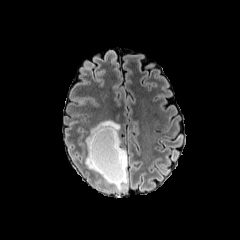
FLAIR MR image.
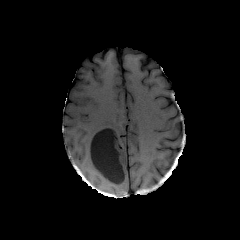
Same slice, T1-weighted MRI.
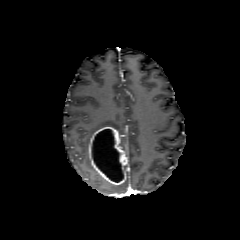
Post-contrast T1-weighted MR.
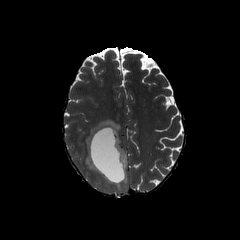
T2-weighted MR.
Axial slice. Image size 240x240. Brain.
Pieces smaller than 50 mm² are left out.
necrotic tumor core: (left=92, top=129, right=123, bottom=182) | peritumoral edema: (left=85, top=152, right=97, bottom=173), (left=85, top=120, right=120, bottom=151), (left=114, top=165, right=127, bottom=191) | enhancing tumor: (left=88, top=126, right=128, bottom=184)